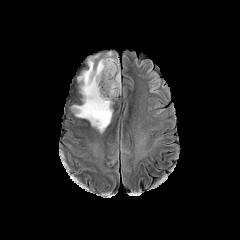
FLAIR MR.
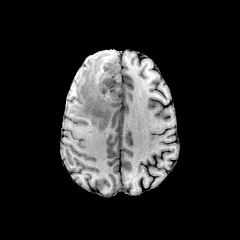
T1-weighted MRI.
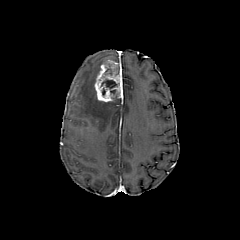
Same slice, post-contrast T1-weighted MR image.
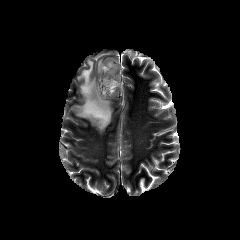
Same slice, T2-weighted MR image.
Brain, Axial slice
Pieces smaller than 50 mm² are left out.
{
  "peritumoral_edema": [
    "x1=72, y1=52, x2=118, y2=132"
  ],
  "enhancing_tumor": [
    "x1=94, y1=59, x2=122, y2=101"
  ],
  "necrotic_tumor_core": [
    "x1=101, y1=79, x2=117, y2=94"
  ]
}